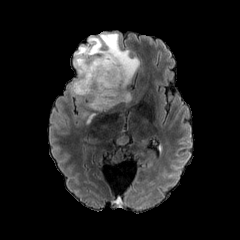
FLAIR MR image.
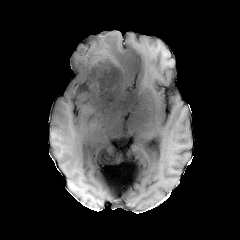
T1-weighted MR image of the same slice.
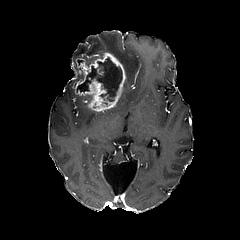
Post-contrast T1-weighted MRI.
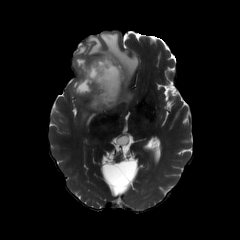
T2-weighted MR image.
Axial plane
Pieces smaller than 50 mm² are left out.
* enhancing tumor: bbox=[72, 52, 126, 112]
* necrotic tumor core: bbox=[78, 78, 90, 91]; bbox=[87, 57, 122, 97]
* peritumoral edema: bbox=[73, 33, 138, 102]; bbox=[82, 111, 96, 123]